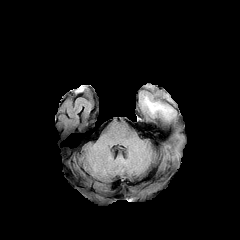
FLAIR MR image.
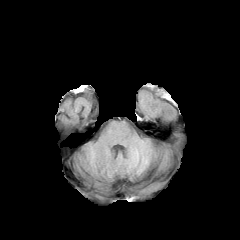
T1-weighted MRI of the same slice.
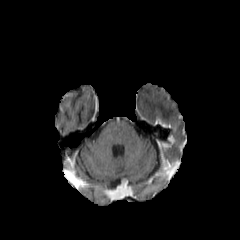
Post-contrast T1-weighted MRI.
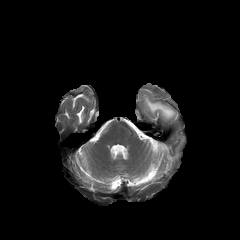
Same slice, T2-weighted MR image.
Axial plane
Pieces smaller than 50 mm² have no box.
enhancing tumor = [156,118,170,127]
peritumoral edema = [141,93,176,120]